FLAIR MR image.
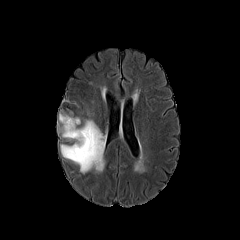
T1-weighted MR image.
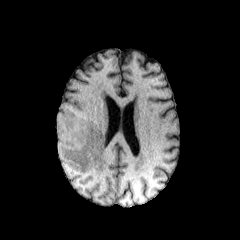
Post-contrast T1-weighted MRI.
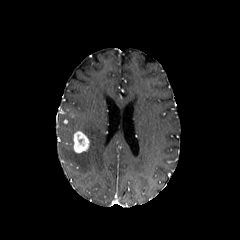
T2-weighted MR image.
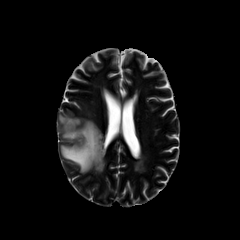
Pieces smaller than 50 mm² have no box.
The peritumoral edema is located at <box>58,112,105,173</box>. The largest enhancing tumor region lies within <box>73,131,89,153</box>.